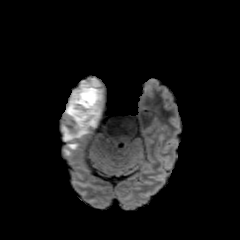
FLAIR MR.
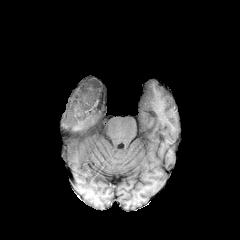
T1-weighted MR.
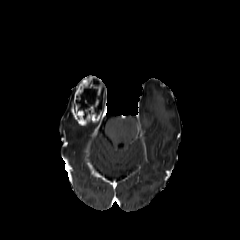
Post-contrast T1-weighted magnetic resonance.
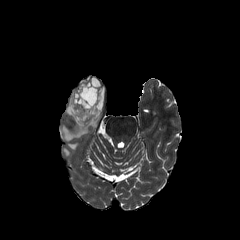
Same slice, T2-weighted MRI.
240x240 px. Axial slice. Brain.
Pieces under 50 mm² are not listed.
necrotic tumor core: bbox=[76, 84, 103, 118]
peritumoral edema: bbox=[68, 143, 78, 149]; bbox=[64, 89, 97, 141]
enhancing tumor: bbox=[70, 76, 104, 125]